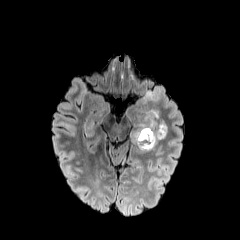
FLAIR MRI.
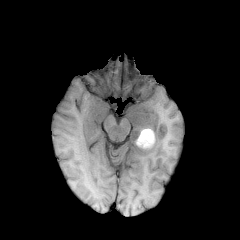
T1-weighted magnetic resonance of the same slice.
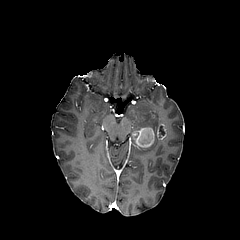
Same slice, post-contrast T1-weighted magnetic resonance.
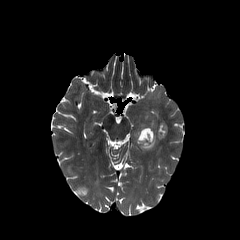
T2-weighted MRI of the same slice.
Head, Axial plane
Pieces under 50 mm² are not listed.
peritumoral edema: [x1=140, y1=137, x2=157, y2=150], [x1=139, y1=114, x2=154, y2=129] | enhancing tumor: [x1=132, y1=124, x2=166, y2=148] | necrotic tumor core: [x1=139, y1=129, x2=151, y2=144]